FLAIR MR image.
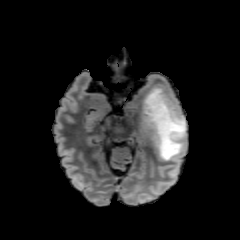
T1-weighted MRI.
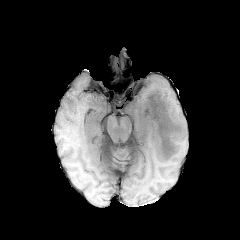
Post-contrast T1-weighted magnetic resonance.
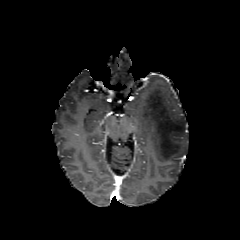
T2-weighted MR.
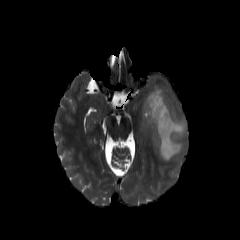
Head; Image size 240x240
peritumoral edema at l=140, t=87, r=186, b=160